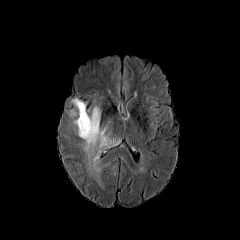
FLAIR MRI.
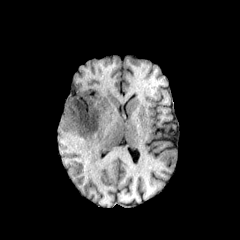
T1-weighted MR of the same slice.
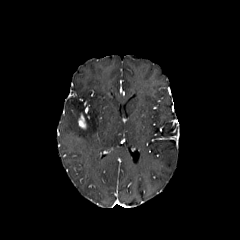
Post-contrast T1-weighted MR.
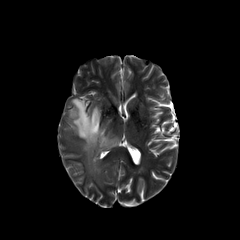
T2-weighted magnetic resonance.
Brain
{"enhancing_tumor": ["[x1=78, y1=113, x2=86, y2=129]"], "peritumoral_edema": ["[x1=68, y1=98, x2=120, y2=185]"]}